Brain | Image covers 240 mm x 240 mm
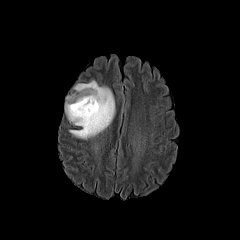
FLAIR magnetic resonance.
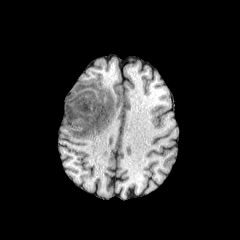
T1-weighted MR.
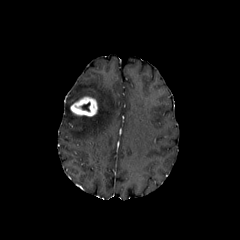
Post-contrast T1-weighted MR image of the same slice.
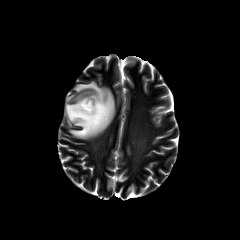
T2-weighted MRI.
{"enhancing_tumor": ["<box>70,96,98,116</box>"], "necrotic_tumor_core": ["<box>81,102,89,111</box>"], "peritumoral_edema": ["<box>65,80,115,139</box>"]}